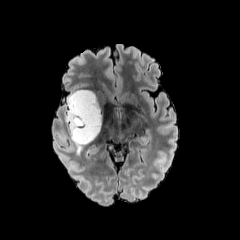
FLAIR MRI.
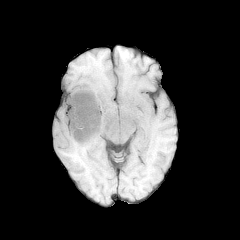
T1-weighted MR image of the same slice.
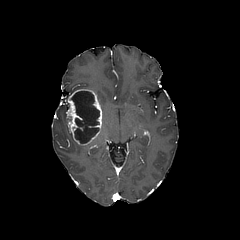
Post-contrast T1-weighted magnetic resonance of the same slice.
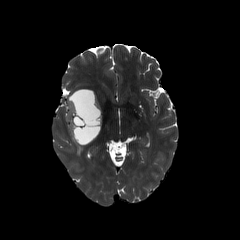
T2-weighted MR of the same slice.
Axial plane; 240x240
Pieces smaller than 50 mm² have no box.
The necrotic tumor core lies within 71:91:99:143. The largest enhancing tumor region is located at 67:89:102:145. The largest peritumoral edema region is at 70:133:83:154.